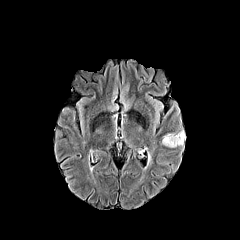
FLAIR magnetic resonance.
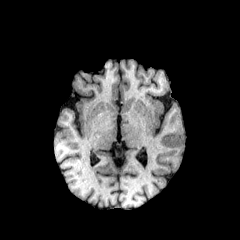
T1-weighted magnetic resonance.
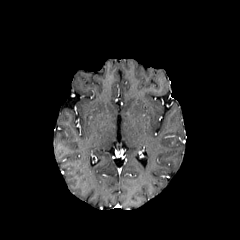
Post-contrast T1-weighted MR.
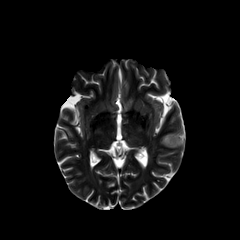
T2-weighted MRI of the same slice.
Axial plane
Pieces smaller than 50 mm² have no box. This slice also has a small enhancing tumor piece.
peritumoral_edema:
  - region(162, 138, 183, 147)
  - region(166, 129, 185, 140)